Image size 240x240; Image width 240 mm, 1.00 mm slice spacing; Axial plane
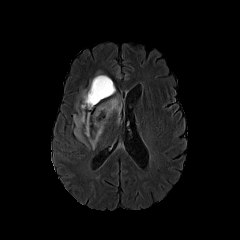
FLAIR MR.
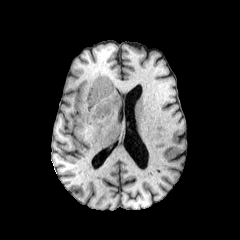
Same slice, T1-weighted MRI.
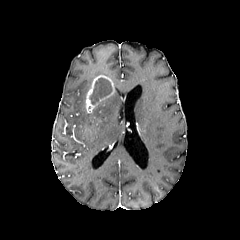
Post-contrast T1-weighted MRI of the same slice.
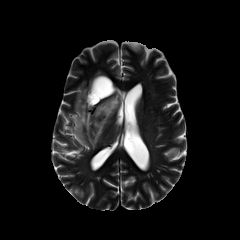
T2-weighted MRI.
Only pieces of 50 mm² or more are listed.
{
  "enhancing_tumor": [
    "85 75 115 112",
    "95 111 106 120"
  ],
  "necrotic_tumor_core": [
    "90 78 112 104"
  ],
  "peritumoral_edema": [
    "73 90 121 148"
  ]
}